Head | Axial slice
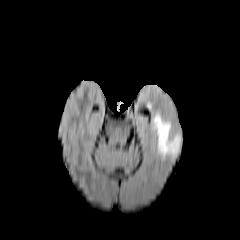
FLAIR MR image.
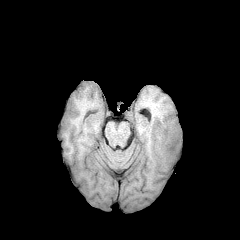
Same slice, T1-weighted magnetic resonance.
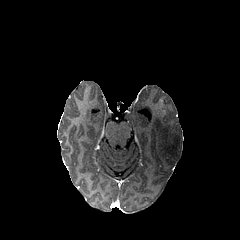
Post-contrast T1-weighted MR of the same slice.
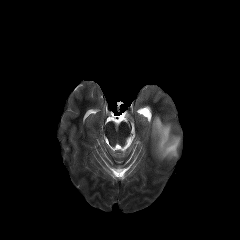
T2-weighted MRI.
peritumoral edema — x1=151 y1=114 x2=180 y2=158